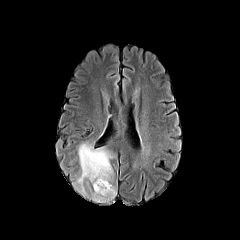
FLAIR magnetic resonance.
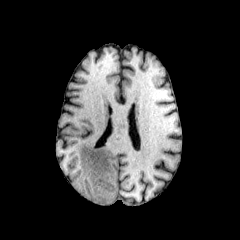
T1-weighted MR image.
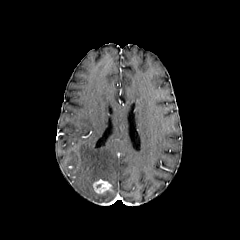
Post-contrast T1-weighted MRI.
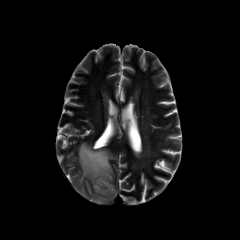
T2-weighted MR image of the same slice.
Head. Axial plane.
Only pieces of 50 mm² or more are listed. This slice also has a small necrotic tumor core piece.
peritumoral_edema:
  - 74,142,116,202
enhancing_tumor:
  - 93,179,112,194